Slice index 119 | Brain | Axial view
FLAIR MR.
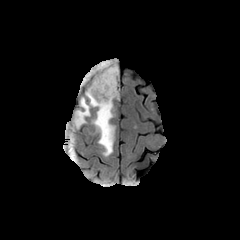
T1-weighted MR.
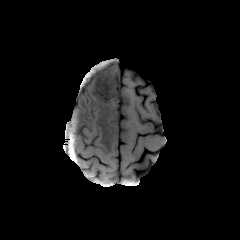
Post-contrast T1-weighted MR.
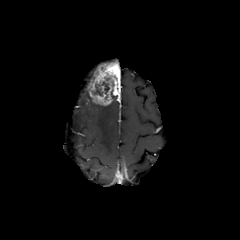
T2-weighted MRI.
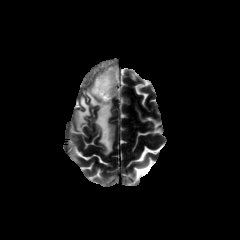
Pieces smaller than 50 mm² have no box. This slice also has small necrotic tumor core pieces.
enhancing tumor = (87,61,120,106)
peritumoral edema = (83,66,97,83), (74,89,115,156)